FLAIR magnetic resonance.
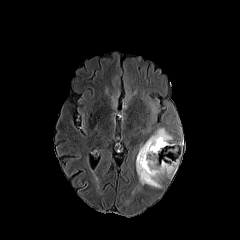
T1-weighted magnetic resonance.
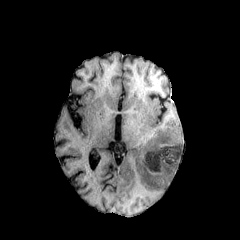
Post-contrast T1-weighted MR image.
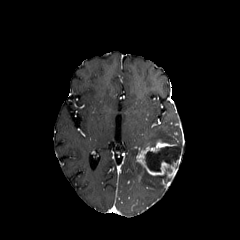
T2-weighted MR image.
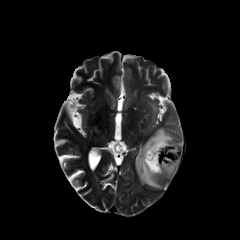
Brain
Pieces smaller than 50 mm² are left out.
enhancing_tumor:
  - (136, 139, 182, 178)
peritumoral_edema:
  - (140, 128, 176, 150)
  - (136, 161, 163, 188)
necrotic_tumor_core:
  - (145, 146, 179, 171)